Axial slice; Image width 240 mm, 1.00 mm slice spacing; 240x240 px; Brain
FLAIR MR.
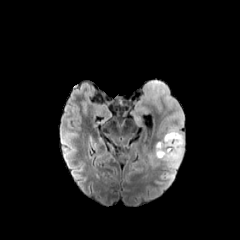
T1-weighted MR.
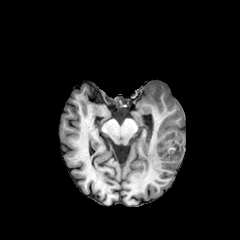
Post-contrast T1-weighted MR image.
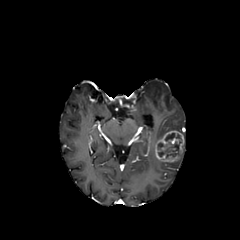
T2-weighted magnetic resonance.
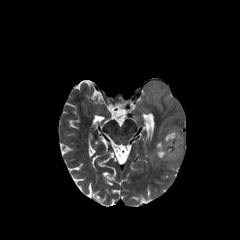
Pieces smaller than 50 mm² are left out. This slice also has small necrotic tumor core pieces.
The 3 largest peritumoral edema regions are located at {"x1": 133, "y1": 79, "x2": 184, "y2": 134}, {"x1": 150, "y1": 152, "x2": 159, "y2": 163}, {"x1": 168, "y1": 154, "x2": 182, "y2": 167}. The enhancing tumor lies within {"x1": 155, "y1": 130, "x2": 184, "y2": 162}.